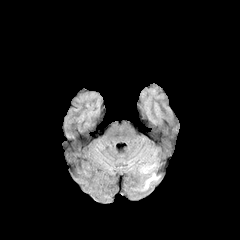
FLAIR MR.
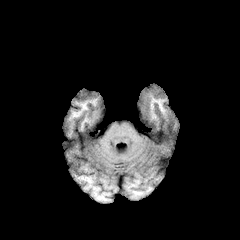
T1-weighted magnetic resonance of the same slice.
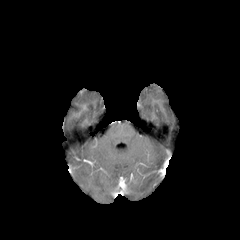
Same slice, post-contrast T1-weighted MRI.
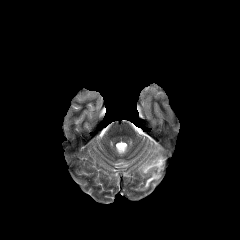
T2-weighted magnetic resonance.
The peritumoral edema is located at bbox=[135, 150, 159, 191].